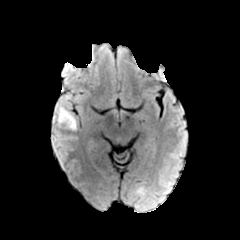
FLAIR MRI.
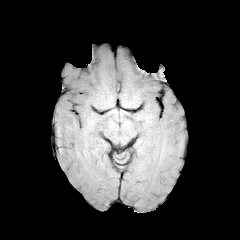
Same slice, T1-weighted MR.
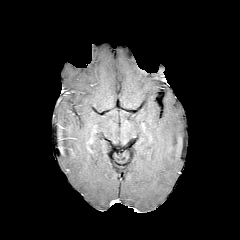
Post-contrast T1-weighted magnetic resonance of the same slice.
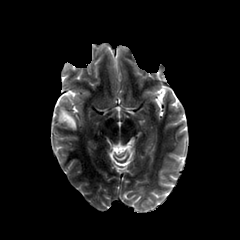
T2-weighted magnetic resonance.
Axial slice, Image size 240x240, Brain
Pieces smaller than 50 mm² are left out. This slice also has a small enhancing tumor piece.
The peritumoral edema is bounded by (56, 106, 76, 130).